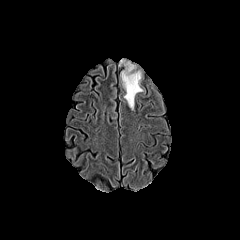
FLAIR MR image.
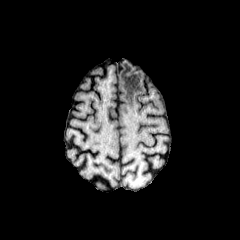
T1-weighted magnetic resonance of the same slice.
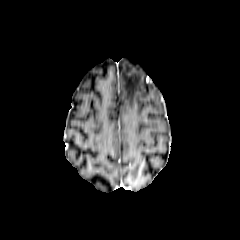
Post-contrast T1-weighted MR image.
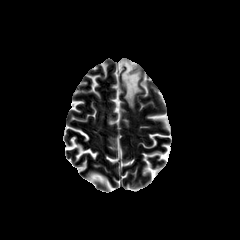
Same slice, T2-weighted MR.
Brain; Axial slice
peritumoral edema — [x1=121, y1=59, x2=142, y2=109]